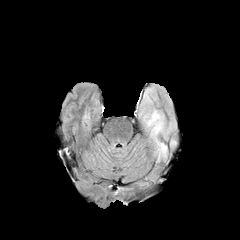
FLAIR MR.
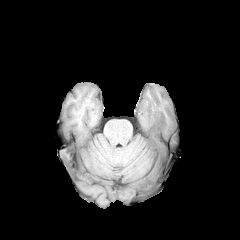
T1-weighted magnetic resonance.
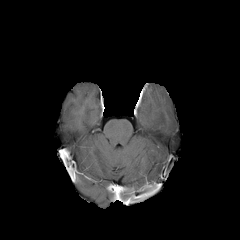
Same slice, post-contrast T1-weighted magnetic resonance.
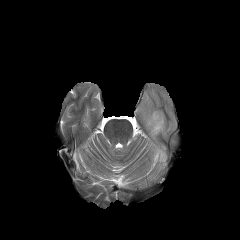
Same slice, T2-weighted magnetic resonance.
240x240 px
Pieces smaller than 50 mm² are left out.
peritumoral_edema:
  - 143, 109, 166, 162